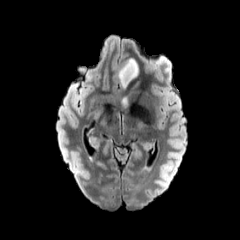
FLAIR MR.
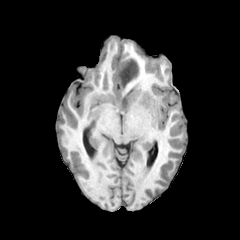
T1-weighted MR image.
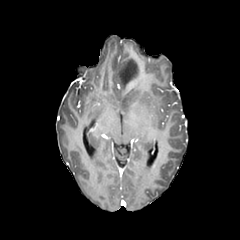
Same slice, post-contrast T1-weighted MR.
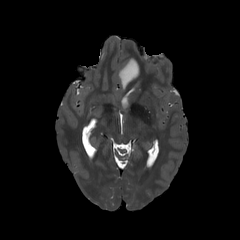
T2-weighted magnetic resonance.
Image size 240x240
2 peritumoral edema regions are located at 118:58:138:85, 122:97:127:107.